FLAIR MR.
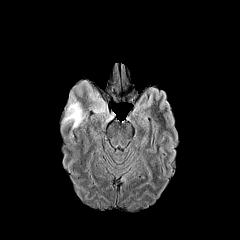
T1-weighted MRI.
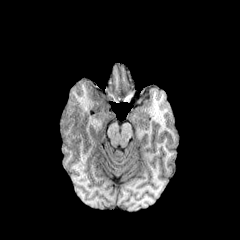
Post-contrast T1-weighted MR.
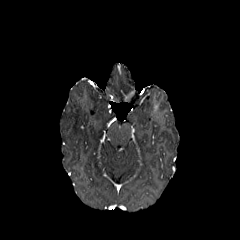
T2-weighted MR.
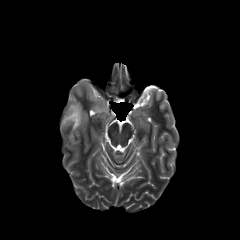
Axial plane; Head
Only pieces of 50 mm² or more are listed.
Annotated regions:
* peritumoral edema: (90, 96, 107, 115), (62, 95, 85, 128)